FLAIR magnetic resonance.
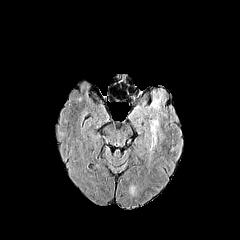
T1-weighted magnetic resonance.
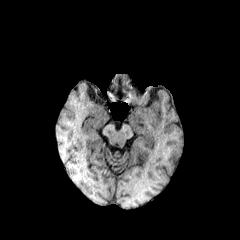
Post-contrast T1-weighted magnetic resonance.
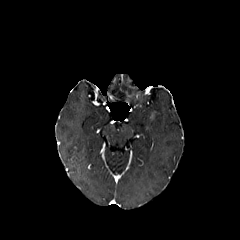
T2-weighted MR.
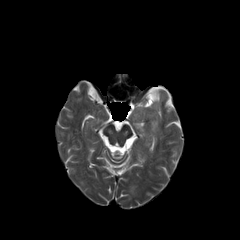
Axial slice; Brain
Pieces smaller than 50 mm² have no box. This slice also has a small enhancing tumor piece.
{
  "peritumoral_edema": [
    "bbox=[150, 118, 158, 143]"
  ]
}